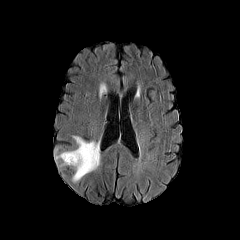
FLAIR MR image.
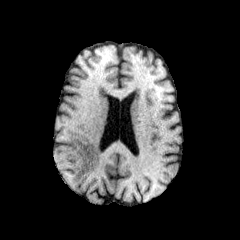
T1-weighted MR image.
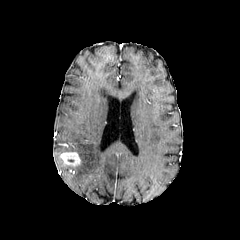
Same slice, post-contrast T1-weighted MR image.
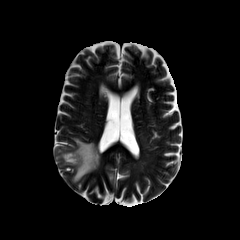
T2-weighted MR image.
240x240; Brain
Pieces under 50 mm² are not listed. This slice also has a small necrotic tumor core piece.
<segmentation>
  <enhancing_tumor>59, 152, 80, 166</enhancing_tumor>
  <peritumoral_edema>66, 136, 100, 182</peritumoral_edema>
</segmentation>